FLAIR MRI.
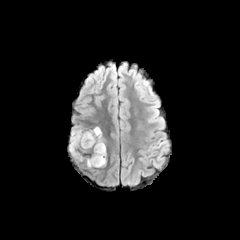
T1-weighted MRI.
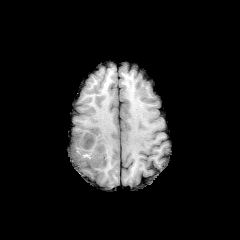
Post-contrast T1-weighted MRI.
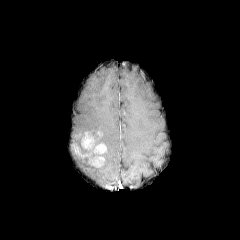
T2-weighted magnetic resonance.
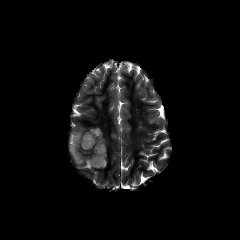
Image size 240x240, Brain
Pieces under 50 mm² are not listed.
enhancing tumor: bounding box box(71, 131, 106, 167)
peritumoral edema: bounding box box(88, 127, 103, 143); box(71, 130, 83, 143); box(76, 138, 87, 154)